Image size 240x240; Brain
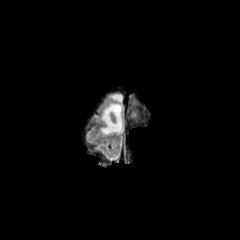
FLAIR magnetic resonance.
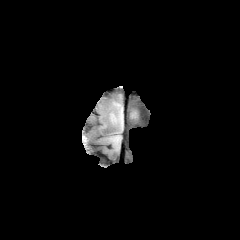
T1-weighted MR.
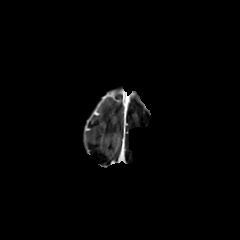
Post-contrast T1-weighted magnetic resonance.
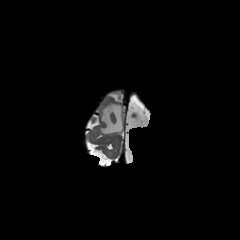
T2-weighted MR of the same slice.
Segmented structures:
* peritumoral edema: l=110, t=94, r=121, b=101; l=101, t=102, r=122, b=134